Image size 240x240.
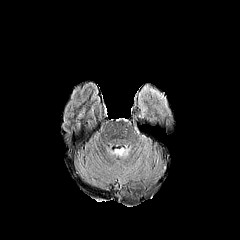
FLAIR MR image.
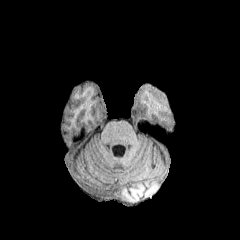
Same slice, T1-weighted MR image.
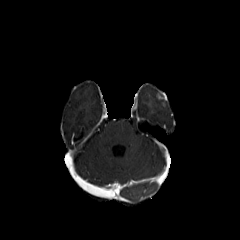
Post-contrast T1-weighted MR image of the same slice.
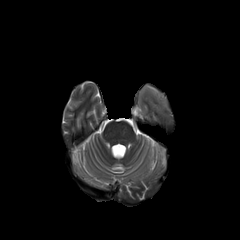
T2-weighted magnetic resonance.
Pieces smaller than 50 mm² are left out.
The largest peritumoral edema region is at box=[144, 86, 158, 95]. The enhancing tumor is located at box=[156, 91, 167, 106].